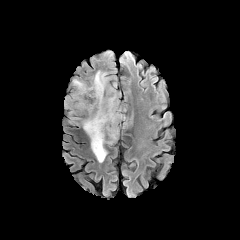
FLAIR MRI.
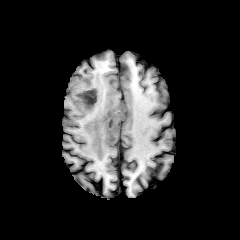
T1-weighted MR of the same slice.
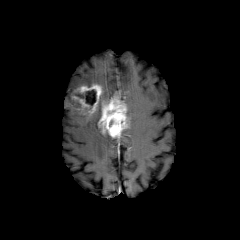
Post-contrast T1-weighted magnetic resonance.
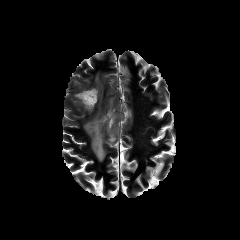
T2-weighted magnetic resonance.
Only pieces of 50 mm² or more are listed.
necrotic tumor core — {"x1": 74, "y1": 89, "x2": 95, "y2": 105}
peritumoral edema — {"x1": 73, "y1": 79, "x2": 82, "y2": 87}, {"x1": 94, "y1": 71, "x2": 105, "y2": 93}, {"x1": 83, "y1": 94, "x2": 116, "y2": 162}
enhancing tumor — {"x1": 71, "y1": 83, "x2": 102, "y2": 114}, {"x1": 98, "y1": 93, "x2": 129, "y2": 138}